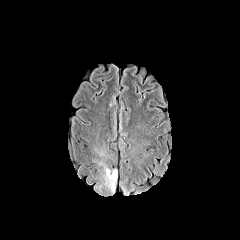
FLAIR MRI.
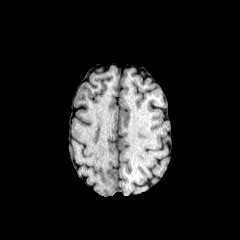
T1-weighted magnetic resonance.
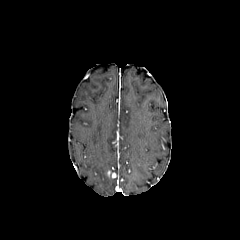
Post-contrast T1-weighted MR.
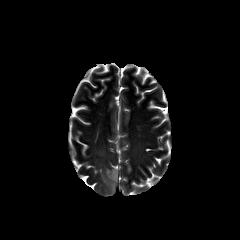
T2-weighted MR image.
Axial view, Head
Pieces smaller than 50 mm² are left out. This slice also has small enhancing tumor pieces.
{"peritumoral_edema": ["region(94, 143, 118, 193)"]}